Axial view
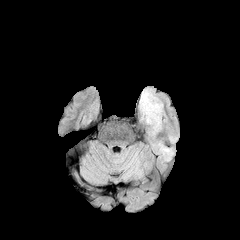
FLAIR MR image.
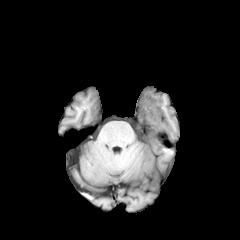
Same slice, T1-weighted MR.
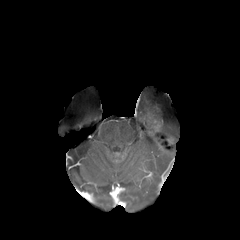
Same slice, post-contrast T1-weighted MR image.
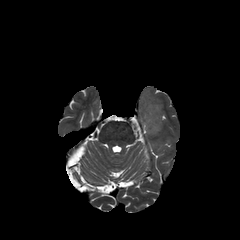
T2-weighted MR image of the same slice.
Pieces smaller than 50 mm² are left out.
Annotated regions:
• peritumoral edema: x1=139 y1=89 x2=166 y2=131
• enhancing tumor: x1=144 y1=116 x2=163 y2=131